Image size 240x240 | Image width 240 mm, 1.00 mm slice spacing | Axial slice | Slice index 46
FLAIR MRI.
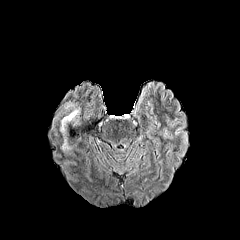
T1-weighted MR image.
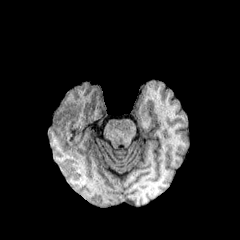
Post-contrast T1-weighted MRI.
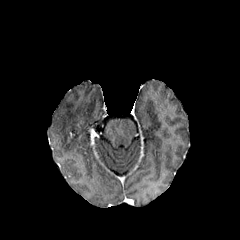
T2-weighted MR.
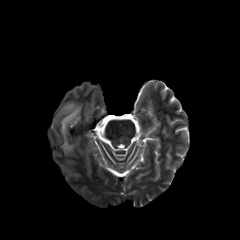
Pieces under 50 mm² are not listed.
peritumoral edema: {"x1": 60, "y1": 102, "x2": 80, "y2": 134}